Brain | 240x240
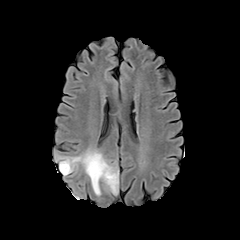
FLAIR MR image.
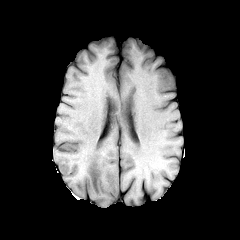
T1-weighted magnetic resonance of the same slice.
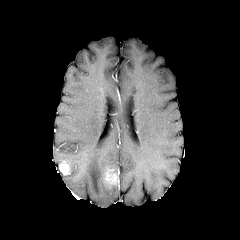
Post-contrast T1-weighted MR image of the same slice.
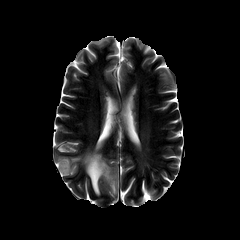
T2-weighted MR.
Findings:
* peritumoral edema: box=[56, 150, 117, 196]
* enhancing tumor: box=[59, 160, 69, 174]; box=[104, 168, 117, 186]